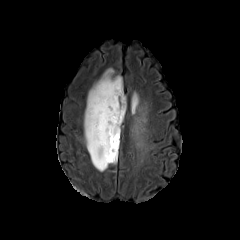
FLAIR magnetic resonance.
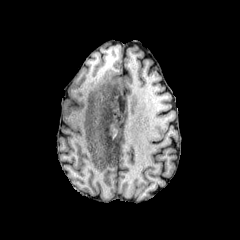
T1-weighted MRI.
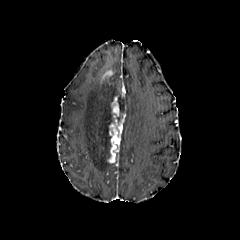
Same slice, post-contrast T1-weighted MRI.
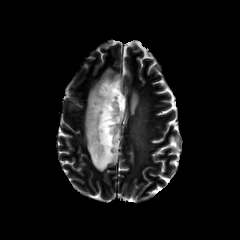
T2-weighted magnetic resonance.
Brain
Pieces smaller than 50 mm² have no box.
- enhancing tumor: <bbox>107, 94, 126, 163</bbox>, <bbox>118, 83, 125, 97</bbox>, <bbox>101, 70, 113, 81</bbox>
- peritumoral edema: <bbox>84, 75, 122, 171</bbox>, <bbox>131, 92, 138, 114</bbox>
- necrotic tumor core: <bbox>113, 82, 125, 112</bbox>